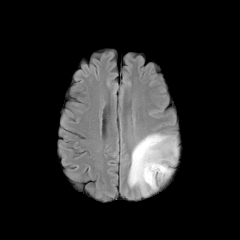
FLAIR MR.
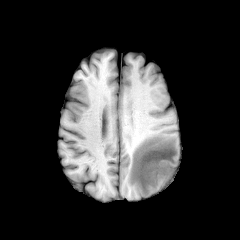
T1-weighted MR.
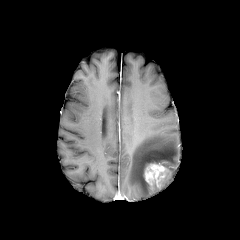
Post-contrast T1-weighted MR of the same slice.
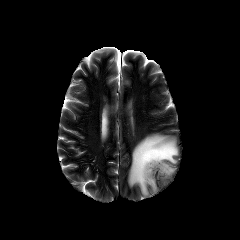
T2-weighted MRI.
Axial view
Annotated regions:
• enhancing tumor: (x1=144, y1=163, x2=169, y2=186)
• peritumoral edema: (x1=128, y1=133, x2=177, y2=196)